FLAIR MR image.
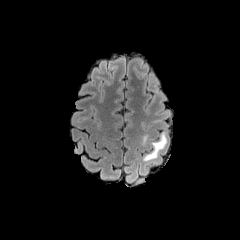
T1-weighted MRI.
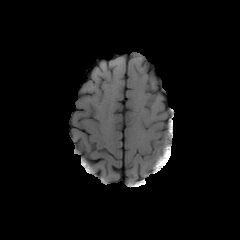
Post-contrast T1-weighted magnetic resonance.
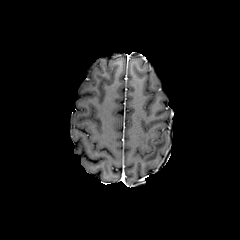
T2-weighted MRI.
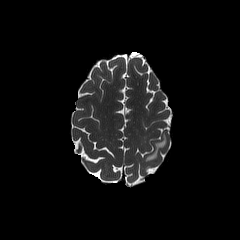
Head
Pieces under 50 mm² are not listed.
peritumoral edema = box(144, 133, 166, 160)